FLAIR MR image.
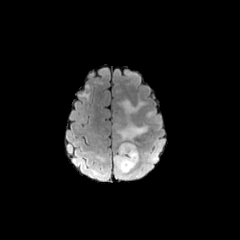
T1-weighted MR image.
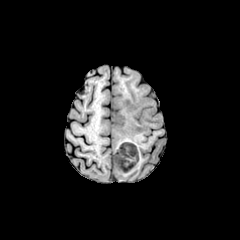
Post-contrast T1-weighted magnetic resonance.
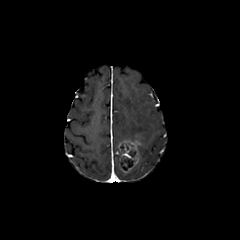
T2-weighted magnetic resonance.
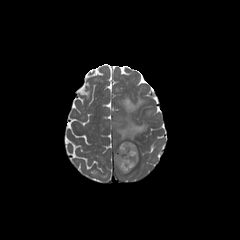
240x240 px. Axial slice. Head.
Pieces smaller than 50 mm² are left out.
Annotated regions:
• enhancing tumor: l=115, t=140, r=140, b=172
• necrotic tumor core: l=118, t=156, r=134, b=170
• peritumoral edema: l=121, t=99, r=145, b=113; l=113, t=154, r=142, b=178; l=117, t=121, r=147, b=141